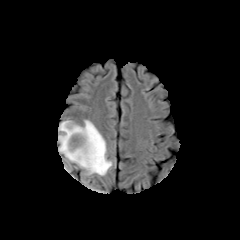
FLAIR MR image.
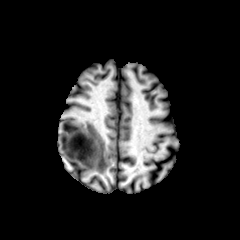
T1-weighted MR.
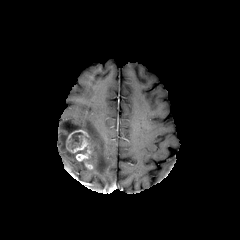
Post-contrast T1-weighted MR image.
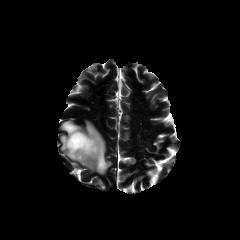
Same slice, T2-weighted magnetic resonance.
necrotic tumor core: bounding box l=68, t=132, r=82, b=149
enhancing tumor: bounding box l=66, t=130, r=93, b=168
peritumoral edema: bounding box l=59, t=120, r=112, b=175